FLAIR MR image.
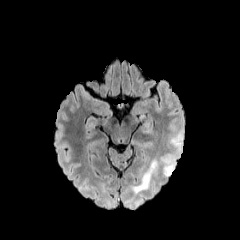
T1-weighted MR.
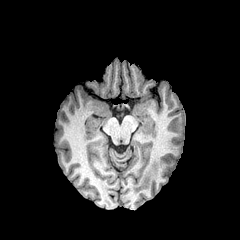
Post-contrast T1-weighted magnetic resonance.
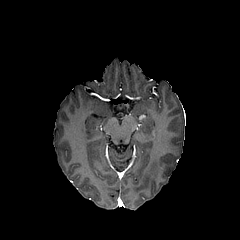
T2-weighted MR.
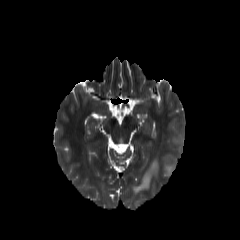
Brain; Image size 240x240
The peritumoral edema is bounded by (131,132,183,195).